FLAIR MR image.
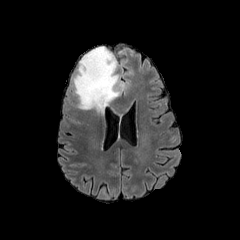
T1-weighted MR.
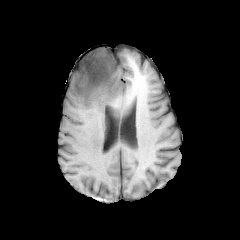
Post-contrast T1-weighted MRI.
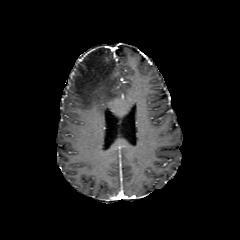
T2-weighted magnetic resonance.
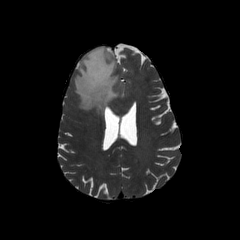
Head; 240x240
The peritumoral edema is located at [72,47,124,115].